Brain. 240x240 px.
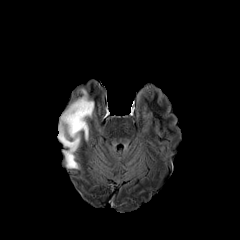
FLAIR magnetic resonance.
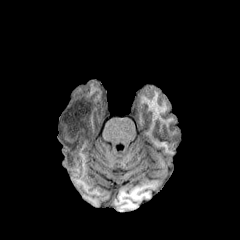
T1-weighted magnetic resonance of the same slice.
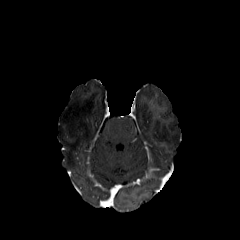
Post-contrast T1-weighted magnetic resonance.
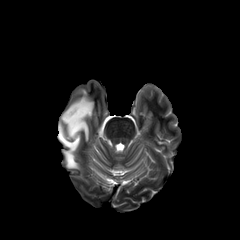
T2-weighted magnetic resonance of the same slice.
peritumoral edema = 58,89,94,168